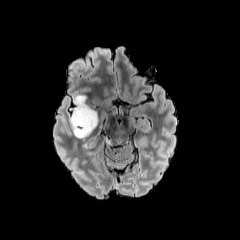
FLAIR magnetic resonance.
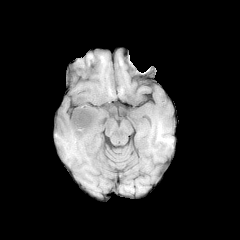
T1-weighted MR.
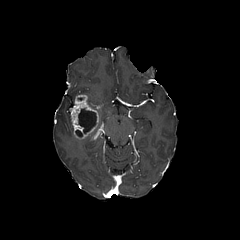
Post-contrast T1-weighted magnetic resonance.
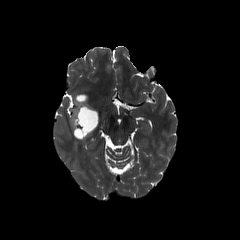
T2-weighted MR image.
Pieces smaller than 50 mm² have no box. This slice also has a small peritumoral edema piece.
{"necrotic_tumor_core": ["bbox=[78, 108, 96, 133]"], "enhancing_tumor": ["bbox=[71, 94, 98, 139]"]}